FLAIR MR.
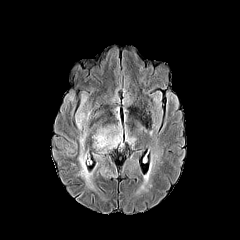
T1-weighted MR image.
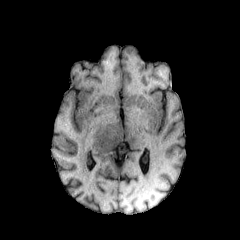
Post-contrast T1-weighted MRI.
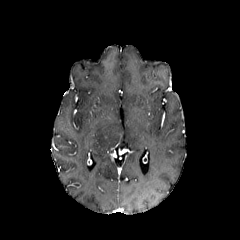
T2-weighted MRI.
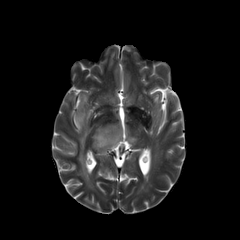
Head, Axial plane
peritumoral edema — left=76, top=112, right=92, bottom=187; left=92, top=116, right=122, bottom=154; left=125, top=130, right=135, bottom=144